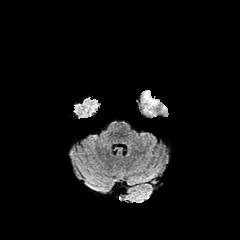
FLAIR MR.
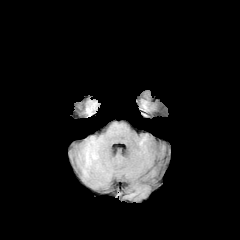
T1-weighted MRI.
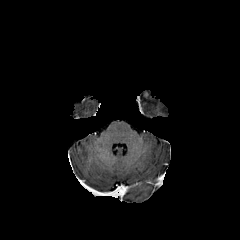
Same slice, post-contrast T1-weighted magnetic resonance.
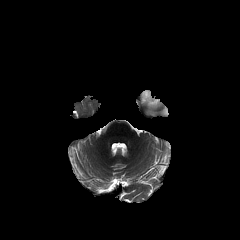
T2-weighted MR.
Axial slice | 240x240
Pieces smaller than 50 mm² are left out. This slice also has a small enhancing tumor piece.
peritumoral_edema:
  - {"x1": 141, "y1": 90, "x2": 159, "y2": 115}